Axial slice.
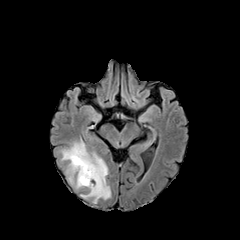
FLAIR MRI.
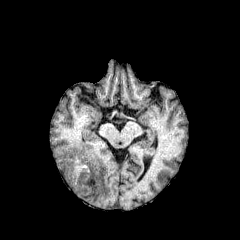
T1-weighted MR.
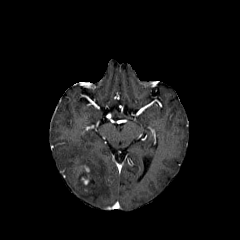
Same slice, post-contrast T1-weighted MRI.
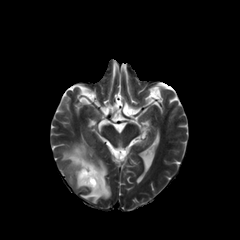
T2-weighted MR image.
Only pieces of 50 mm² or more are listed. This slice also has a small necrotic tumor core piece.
The peritumoral edema lies within <box>61,139,110,203</box>. The largest enhancing tumor region is located at <box>81,177,89,185</box>.